Image size 240x240, Brain, Slice index 104
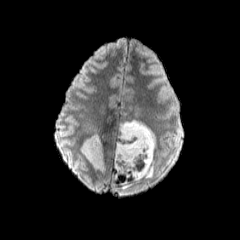
FLAIR MR image.
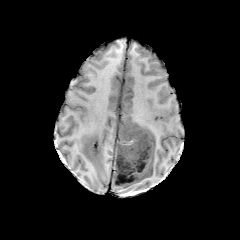
T1-weighted MRI.
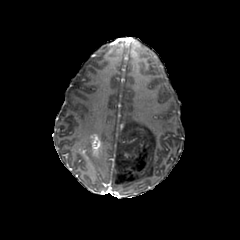
Same slice, post-contrast T1-weighted magnetic resonance.
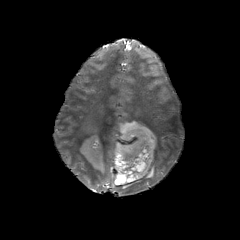
T2-weighted MR image.
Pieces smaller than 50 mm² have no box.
peritumoral edema = <bbox>79, 133, 94, 153</bbox>, <bbox>114, 107, 155, 189</bbox>, <bbox>90, 156, 103, 171</bbox>
enhancing tumor = <bbox>82, 133, 102, 161</bbox>